Axial plane
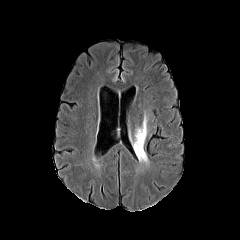
FLAIR magnetic resonance.
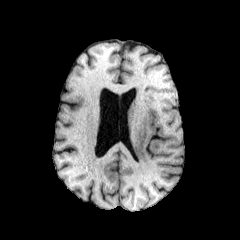
T1-weighted MR.
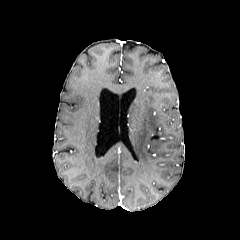
Post-contrast T1-weighted magnetic resonance.
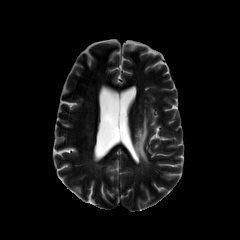
Same slice, T2-weighted MR image.
peritumoral edema = bbox=[133, 114, 148, 164]